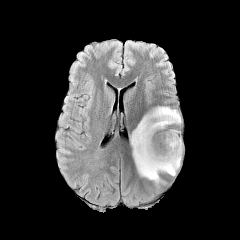
FLAIR MR image.
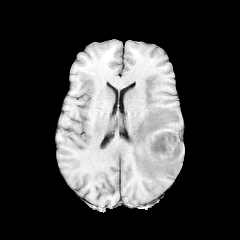
T1-weighted magnetic resonance.
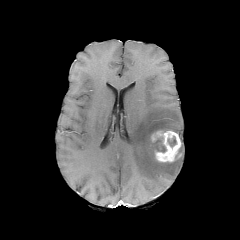
Post-contrast T1-weighted MR image.
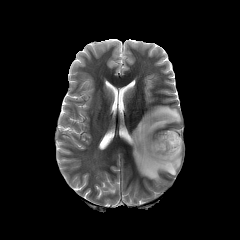
T2-weighted magnetic resonance of the same slice.
Axial view
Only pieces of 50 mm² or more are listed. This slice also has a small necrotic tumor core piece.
peritumoral_edema:
  - [130, 106, 181, 184]
enhancing_tumor:
  - [151, 130, 181, 162]